Image size 240x240. Head. Slice 40/155. Image width 240 mm.
FLAIR MR image.
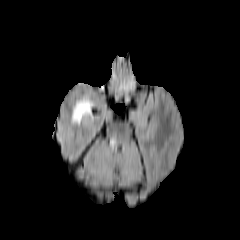
T1-weighted MRI.
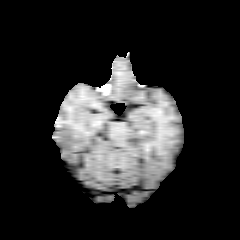
Post-contrast T1-weighted MR.
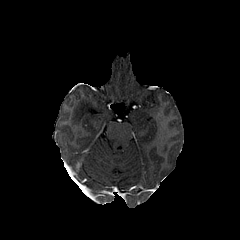
T2-weighted magnetic resonance.
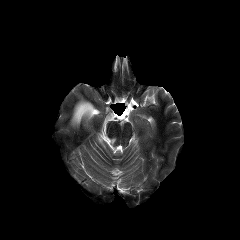
The peritumoral edema is located at bbox=[71, 98, 93, 125].